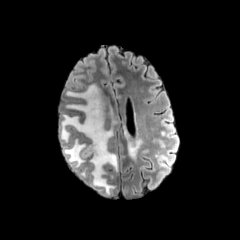
FLAIR MRI.
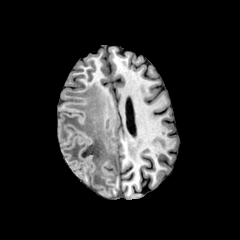
T1-weighted MR of the same slice.
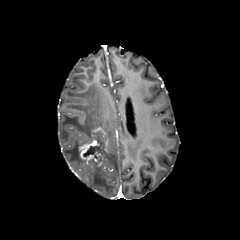
Post-contrast T1-weighted magnetic resonance.
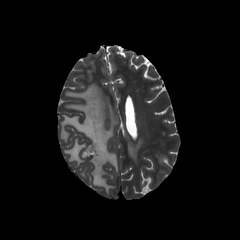
Same slice, T2-weighted MR image.
240x240; Axial plane; Brain
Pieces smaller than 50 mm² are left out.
* necrotic tumor core: region(83, 132, 104, 161)
* enhancing tumor: region(78, 127, 107, 166)
* peritumoral edema: region(60, 84, 113, 168); region(124, 129, 142, 160); region(89, 148, 118, 195)